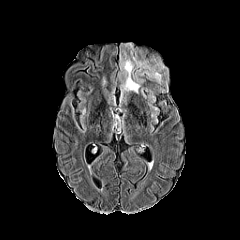
FLAIR MR.
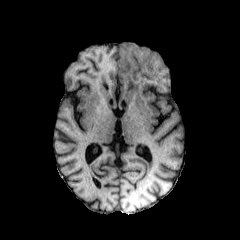
Same slice, T1-weighted MR.
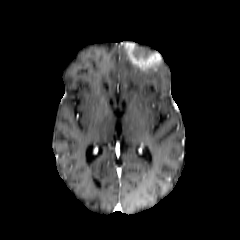
Post-contrast T1-weighted MR image of the same slice.
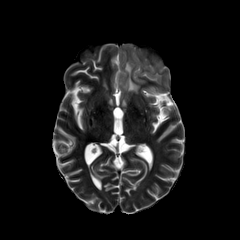
T2-weighted MRI of the same slice.
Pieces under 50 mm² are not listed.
- peritumoral edema: bbox=[120, 49, 164, 94]
- enhancing tumor: bbox=[124, 43, 161, 70]